Head; Image covers 240 mm x 240 mm; Slice 89/155
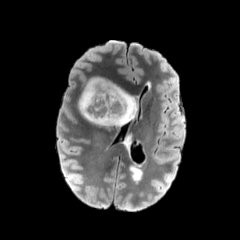
FLAIR MR.
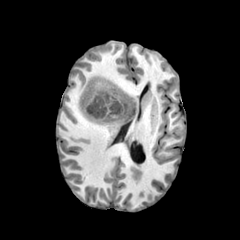
T1-weighted MR of the same slice.
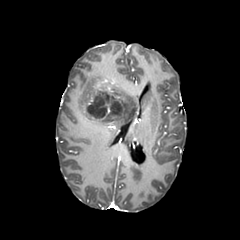
Post-contrast T1-weighted magnetic resonance.
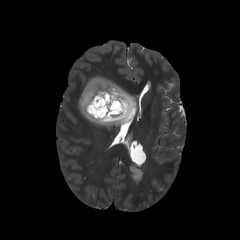
T2-weighted MR.
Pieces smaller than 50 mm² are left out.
peritumoral edema: bounding box box(78, 77, 137, 127)
necrotic tumor core: bounding box box(111, 101, 121, 114); box(87, 96, 108, 117)
enhancing tumor: bounding box box(85, 79, 124, 119)